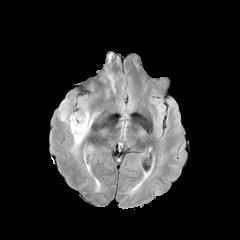
FLAIR MR.
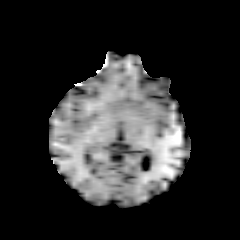
Same slice, T1-weighted MR.
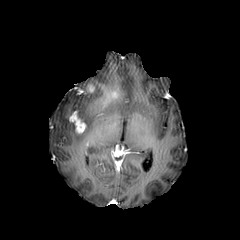
Post-contrast T1-weighted MRI.
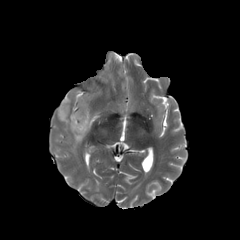
T2-weighted MRI of the same slice.
Head.
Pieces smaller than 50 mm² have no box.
enhancing tumor — rect(86, 84, 94, 92); rect(69, 111, 86, 134)
peritumoral edema — rect(58, 99, 95, 150)